Brain; Slice 60 of 155; Image size 240x240
FLAIR MRI.
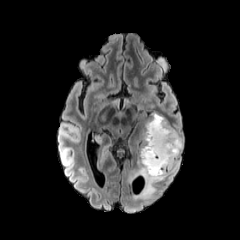
T1-weighted MRI.
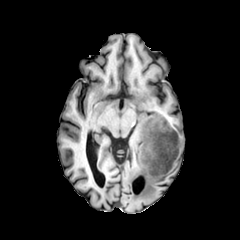
Post-contrast T1-weighted magnetic resonance.
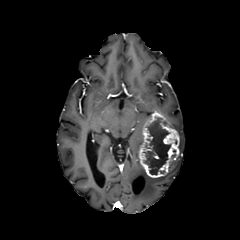
T2-weighted MR.
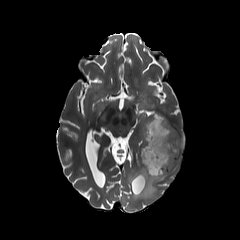
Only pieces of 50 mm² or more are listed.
enhancing tumor: [x1=138, y1=111, x2=179, y2=177] | necrotic tumor core: [x1=143, y1=117, x2=170, y2=174] | peritumoral edema: [x1=129, y1=127, x2=183, y2=198]